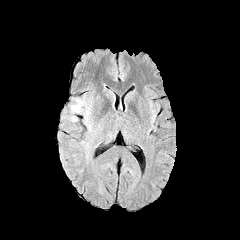
FLAIR magnetic resonance.
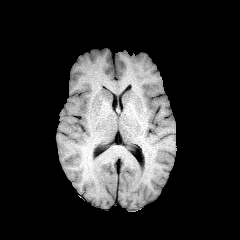
Same slice, T1-weighted MR image.
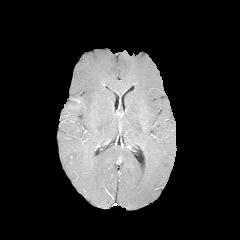
Post-contrast T1-weighted MRI of the same slice.
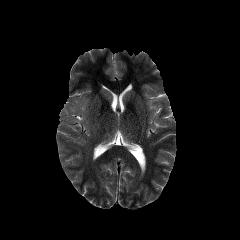
T2-weighted MR.
Head; Axial plane
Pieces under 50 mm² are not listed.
The largest peritumoral edema region is bounded by box=[69, 96, 91, 130].